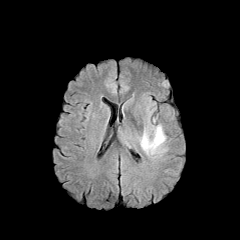
FLAIR MR.
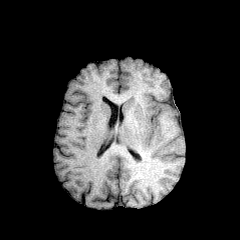
T1-weighted MR.
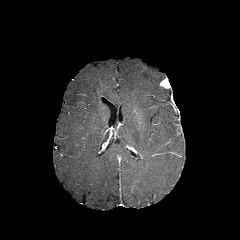
Same slice, post-contrast T1-weighted magnetic resonance.
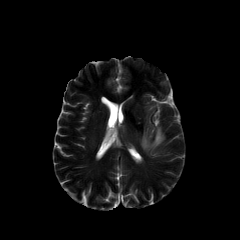
T2-weighted MRI.
Findings:
- peritumoral edema: {"x1": 141, "y1": 125, "x2": 165, "y2": 153}